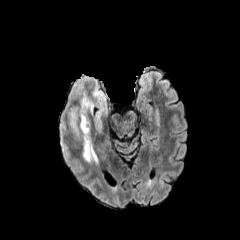
FLAIR MR image.
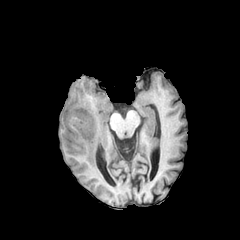
T1-weighted MR image of the same slice.
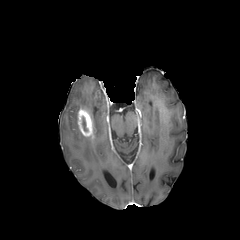
Post-contrast T1-weighted MR.
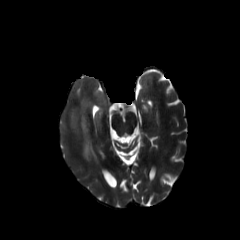
T2-weighted MRI of the same slice.
Head
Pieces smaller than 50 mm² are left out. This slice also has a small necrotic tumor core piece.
The largest peritumoral edema region appears at box(67, 86, 111, 165). The enhancing tumor is bounded by box(77, 107, 93, 138).